FLAIR MR.
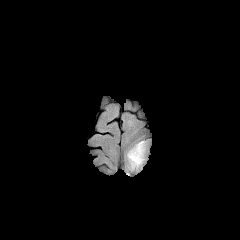
T1-weighted MRI.
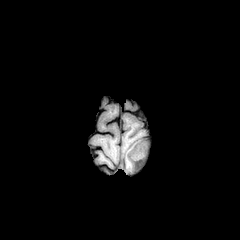
Post-contrast T1-weighted MR.
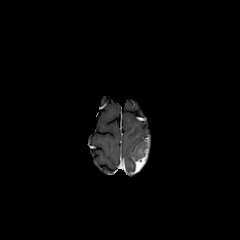
T2-weighted magnetic resonance.
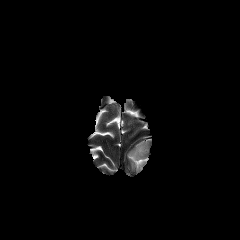
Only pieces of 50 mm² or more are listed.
The largest enhancing tumor region is bounded by bbox(133, 157, 145, 171). The peritumoral edema is located at bbox(128, 142, 145, 166).